FLAIR MRI.
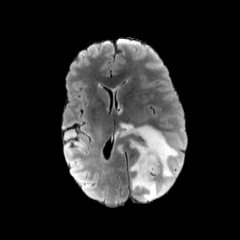
T1-weighted magnetic resonance.
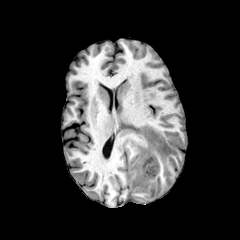
Post-contrast T1-weighted MR image.
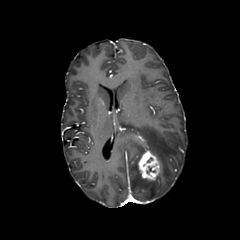
T2-weighted MR.
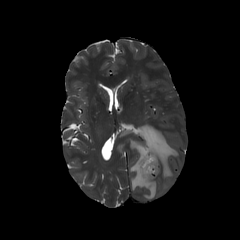
Head
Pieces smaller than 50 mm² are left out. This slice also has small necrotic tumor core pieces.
peritumoral edema: region(130, 125, 177, 200); region(119, 130, 131, 136) | enhancing tumor: region(138, 150, 159, 180)